FLAIR magnetic resonance.
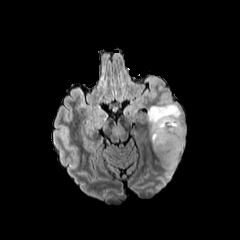
T1-weighted magnetic resonance.
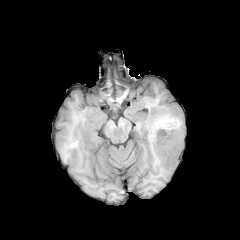
Post-contrast T1-weighted MR image.
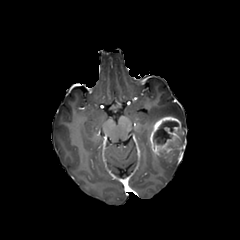
T2-weighted MR.
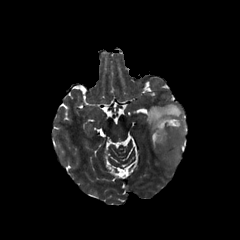
Axial slice
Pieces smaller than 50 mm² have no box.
enhancing_tumor:
  - bbox(149, 116, 185, 159)
necrotic_tumor_core:
  - bbox(153, 120, 178, 144)
peritumoral_edema:
  - bbox(147, 103, 185, 134)
  - bbox(160, 155, 178, 177)